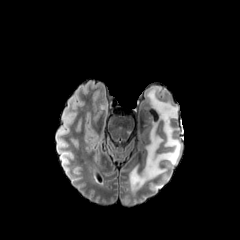
FLAIR MR.
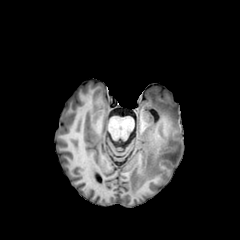
Same slice, T1-weighted MR.
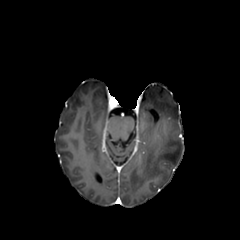
Post-contrast T1-weighted MR image of the same slice.
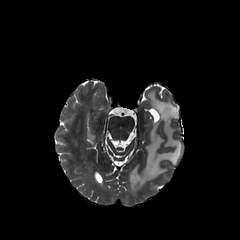
T2-weighted magnetic resonance.
Brain
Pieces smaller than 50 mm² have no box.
The largest peritumoral edema region is located at (130,88,182,189). The enhancing tumor is bounded by (162,123,168,133).